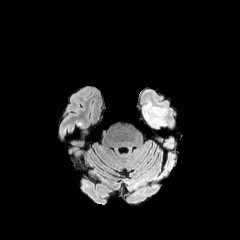
FLAIR MRI.
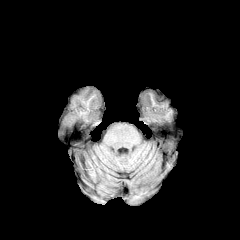
T1-weighted MRI.
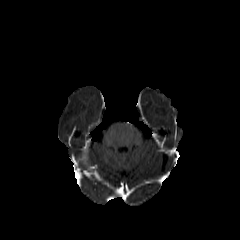
Post-contrast T1-weighted MR.
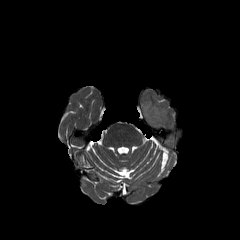
Same slice, T2-weighted MR.
Brain; 240x240 px
2 peritumoral edema regions appear at region(164, 138, 174, 147); region(142, 101, 168, 128).